Slice 29/155. Axial plane. Image size 240x240.
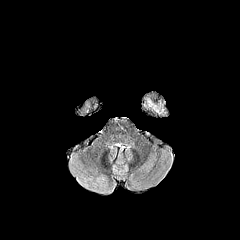
FLAIR MRI.
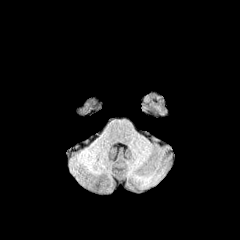
T1-weighted MR image.
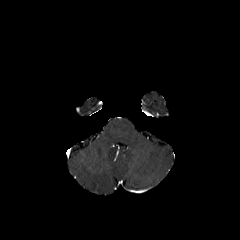
Same slice, post-contrast T1-weighted magnetic resonance.
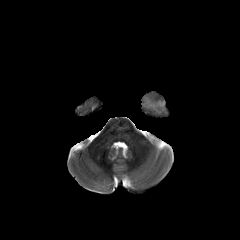
Same slice, T2-weighted MRI.
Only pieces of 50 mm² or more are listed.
Annotated regions:
* peritumoral edema: bbox(147, 98, 162, 112)